FLAIR magnetic resonance.
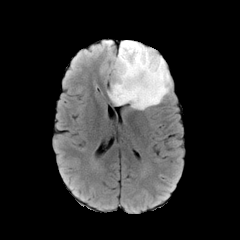
T1-weighted MR image.
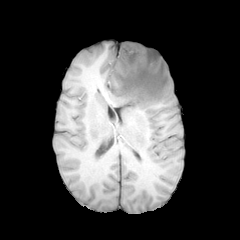
Post-contrast T1-weighted magnetic resonance.
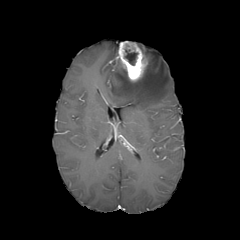
T2-weighted magnetic resonance.
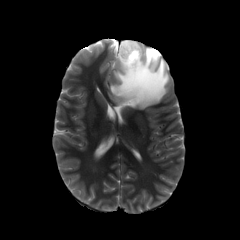
Brain
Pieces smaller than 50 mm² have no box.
The largest peritumoral edema region is located at region(108, 43, 171, 109). The necrotic tumor core is located at region(125, 50, 137, 65). The enhancing tumor is bounded by region(115, 41, 147, 81).